FLAIR MR.
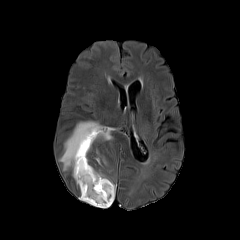
T1-weighted MRI.
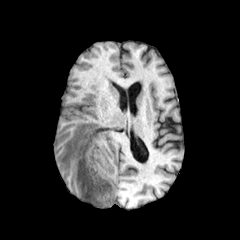
Post-contrast T1-weighted MR image.
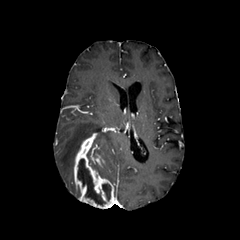
T2-weighted magnetic resonance.
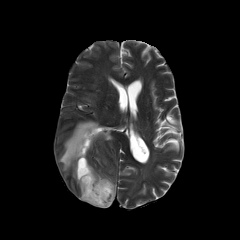
Image size 240x240
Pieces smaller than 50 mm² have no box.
necrotic tumor core: (left=77, top=159, right=105, bottom=205), (left=102, top=183, right=111, bottom=200) | peritumoral edema: (left=59, top=120, right=112, bottom=176) | enhancing tumor: (left=74, top=133, right=114, bottom=208), (left=92, top=154, right=100, bottom=165)